Head | Image width 240 mm, 1.00 mm slice spacing | 240x240 | Slice 63 of 155 | Axial slice
FLAIR MRI.
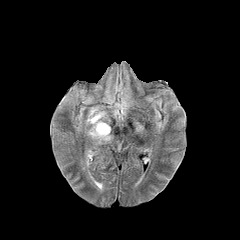
T1-weighted magnetic resonance.
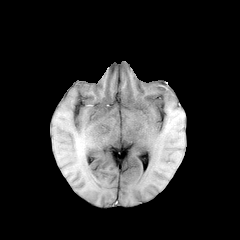
Post-contrast T1-weighted MRI.
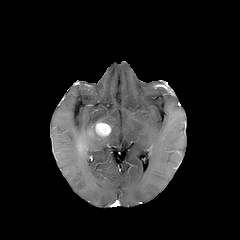
T2-weighted magnetic resonance.
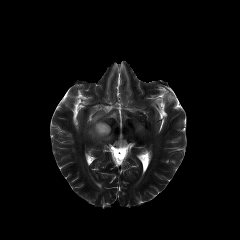
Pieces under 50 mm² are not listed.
{"enhancing_tumor": ["95, 122, 110, 136"], "peritumoral_edema": ["87, 108, 111, 142"]}